Axial view; 240x240; Head
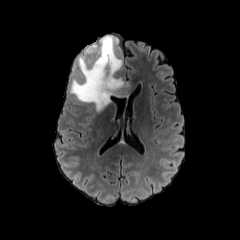
FLAIR magnetic resonance.
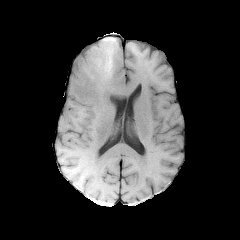
Same slice, T1-weighted MRI.
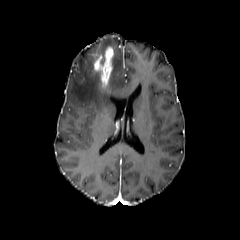
Same slice, post-contrast T1-weighted MR.
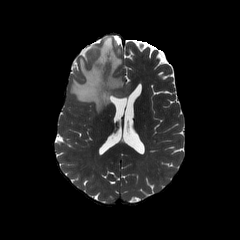
Same slice, T2-weighted magnetic resonance.
enhancing tumor: x1=93, y1=46, x2=114, y2=91
peritumoral edema: x1=70, y1=36, x2=131, y2=112